Brain; Image covers 240 mm x 240 mm; 240x240 px
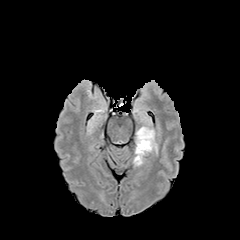
FLAIR MRI.
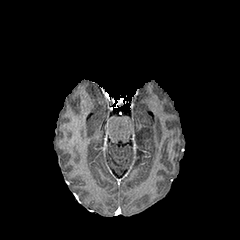
T1-weighted MR image of the same slice.
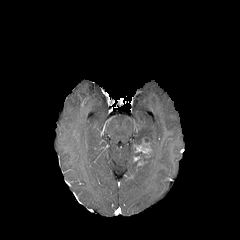
Post-contrast T1-weighted magnetic resonance of the same slice.
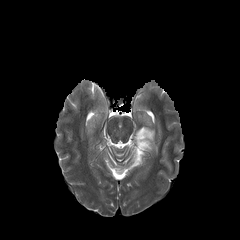
T2-weighted MR image.
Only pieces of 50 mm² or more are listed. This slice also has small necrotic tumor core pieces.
enhancing tumor: 136 139 151 153, 134 156 142 165 | peritumoral edema: 135 128 157 154